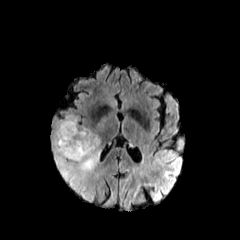
FLAIR magnetic resonance.
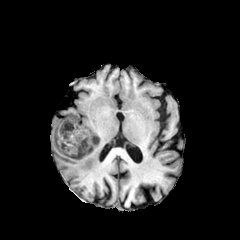
T1-weighted magnetic resonance of the same slice.
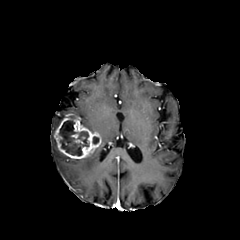
Same slice, post-contrast T1-weighted MR image.
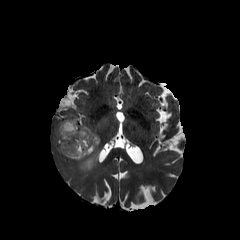
T2-weighted MR image.
Head. Image size 240x240.
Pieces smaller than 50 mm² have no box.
<segmentation>
  <necrotic_tumor_core>(left=59, top=117, right=88, bottom=155)</necrotic_tumor_core>
  <peritumoral_edema>(left=50, top=119, right=102, bottom=202), (left=98, top=116, right=107, bottom=128)</peritumoral_edema>
  <enhancing_tumor>(left=54, top=113, right=101, bottom=158)</enhancing_tumor>
</segmentation>